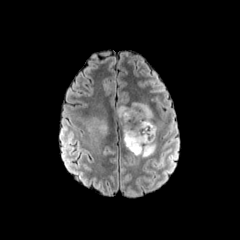
FLAIR MR image.
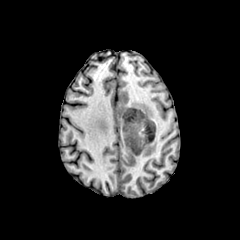
T1-weighted MRI.
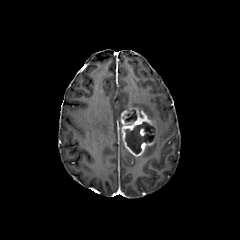
Post-contrast T1-weighted MR.
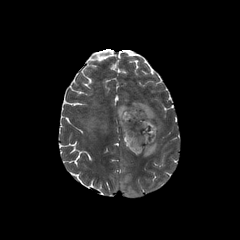
T2-weighted MR image.
240x240
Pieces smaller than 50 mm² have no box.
The 4 largest peritumoral edema regions are located at 141,126,157,157; 117,105,129,122; 131,102,153,120; 99,120,107,133. The 2 largest necrotic tumor core regions are located at 125,122,153,153; 124,110,136,121. The largest enhancing tumor region lies within 120,107,155,156.